Brain. Slice index 110. Image width 240 mm, 1.00 mm slice spacing. 240x240 px.
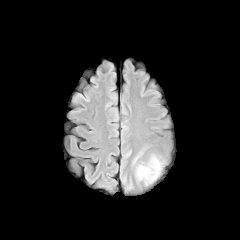
FLAIR magnetic resonance.
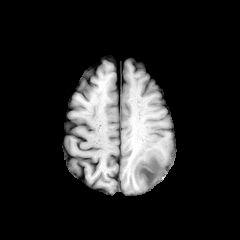
T1-weighted magnetic resonance.
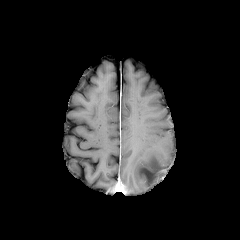
Post-contrast T1-weighted MR image.
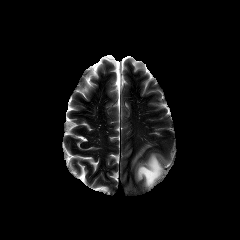
T2-weighted MR.
The peritumoral edema appears at x1=136 y1=155 x2=164 y2=188.